Slice index 83; 240x240; Image width 240 mm, 1.00 mm slice spacing; Head
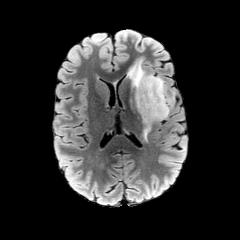
FLAIR MR image.
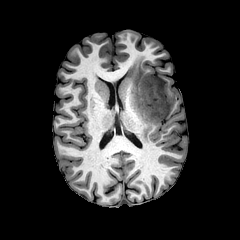
T1-weighted MR image.
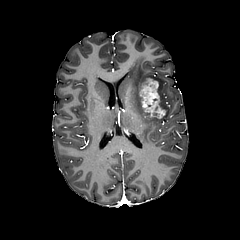
Post-contrast T1-weighted MR of the same slice.
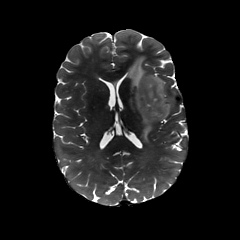
T2-weighted MRI.
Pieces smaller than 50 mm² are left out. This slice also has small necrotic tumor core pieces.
- peritumoral edema: region(127, 59, 172, 141)
- enhancing tumor: region(139, 78, 166, 118)